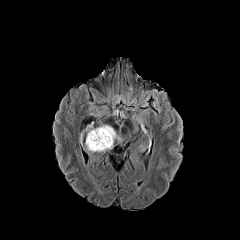
FLAIR MR image.
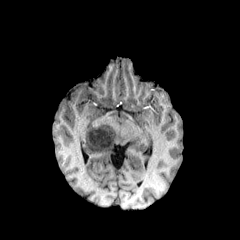
T1-weighted MRI.
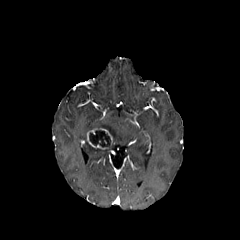
Same slice, post-contrast T1-weighted MR image.
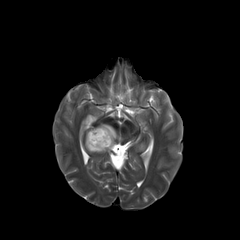
Same slice, T2-weighted MR image.
240x240. Brain.
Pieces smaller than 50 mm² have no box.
<segmentation>
  <peritumoral_edema>[x1=99, y1=125, x2=119, y2=142], [x1=85, y1=137, x2=105, y2=152]</peritumoral_edema>
  <necrotic_tumor_core>[x1=89, y1=130, x2=110, y2=147]</necrotic_tumor_core>
  <enhancing_tumor>[x1=87, y1=128, x2=112, y2=149]</enhancing_tumor>
</segmentation>